Axial plane | Slice 74/155
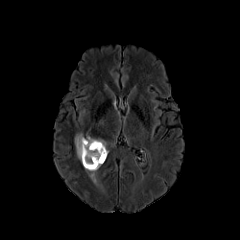
FLAIR MR image.
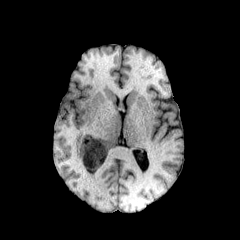
T1-weighted magnetic resonance of the same slice.
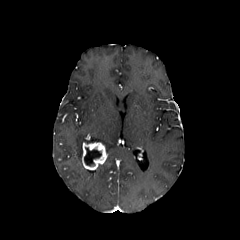
Post-contrast T1-weighted MR image.
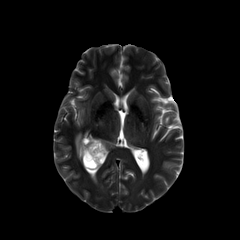
T2-weighted MR image.
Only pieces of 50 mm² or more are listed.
enhancing_tumor:
  - (left=82, top=142, right=107, bottom=169)
necrotic_tumor_core:
  - (left=84, top=147, right=101, bottom=166)
peritumoral_edema:
  - (left=75, top=133, right=106, bottom=161)